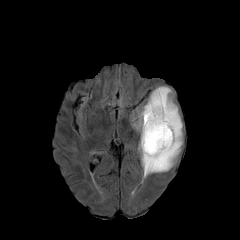
FLAIR MR image.
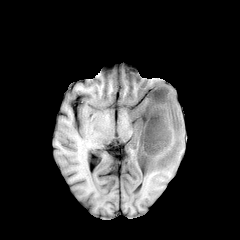
T1-weighted magnetic resonance.
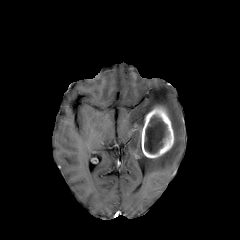
Post-contrast T1-weighted MR image.
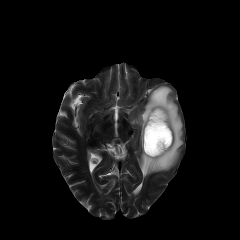
T2-weighted MR of the same slice.
Axial slice, Brain, 240x240
The peritumoral edema is bounded by 132:85:183:177. The necrotic tumor core is at 144:116:168:153. The enhancing tumor lies within 140:105:174:158.